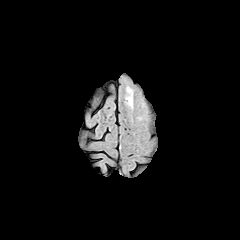
FLAIR MR.
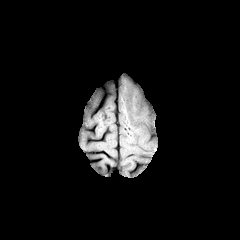
T1-weighted magnetic resonance.
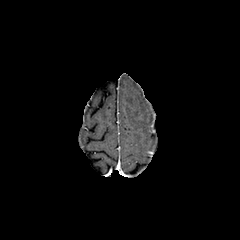
Post-contrast T1-weighted MR.
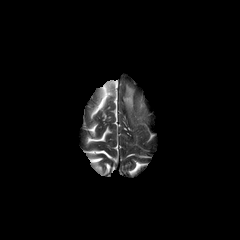
T2-weighted MR.
Axial view. Brain.
The peritumoral edema is located at [x1=125, y1=87, x2=132, y2=107].